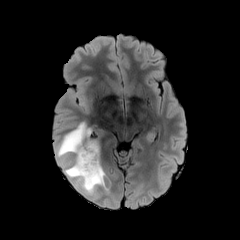
FLAIR MR.
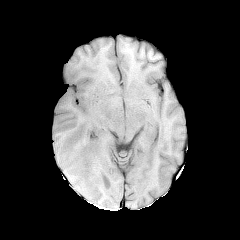
Same slice, T1-weighted MR.
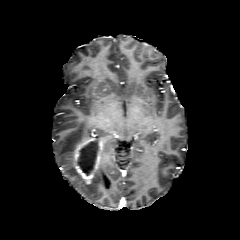
Post-contrast T1-weighted MRI.
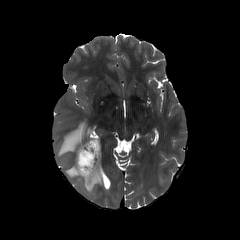
T2-weighted MRI of the same slice.
Head. Axial view. 240x240.
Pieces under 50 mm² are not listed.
peritumoral edema: [56,122,107,197] | necrotic tumor core: [77,140,98,174] | enhancing tumor: [73,138,101,185]